FLAIR MRI.
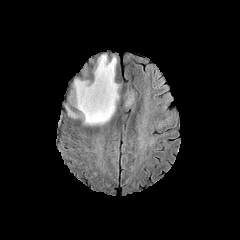
T1-weighted MRI.
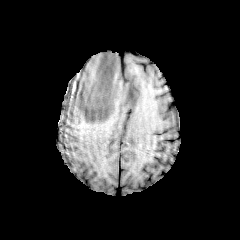
Post-contrast T1-weighted magnetic resonance.
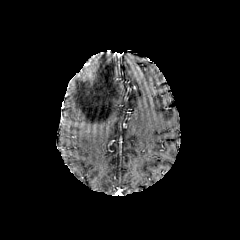
T2-weighted MRI.
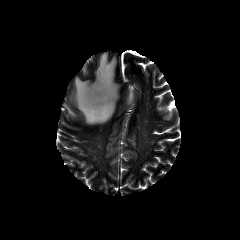
Axial slice, Head
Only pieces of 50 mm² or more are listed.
The 2 largest peritumoral edema regions are bounded by [x1=126, y1=90, x2=134, y2=106], [x1=66, y1=53, x2=120, y2=125].